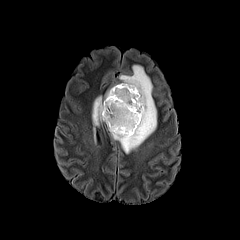
FLAIR MR.
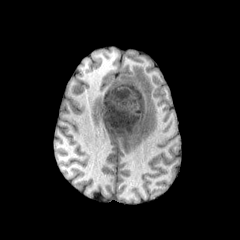
T1-weighted MR image.
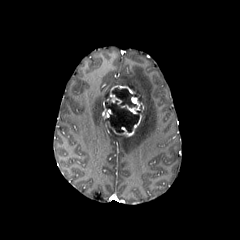
Post-contrast T1-weighted MRI.
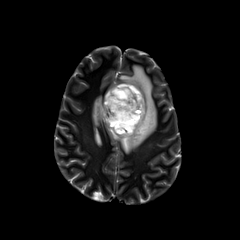
T2-weighted MR image.
Axial view
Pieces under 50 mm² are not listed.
{
  "enhancing_tumor": [
    "102 101 111 119",
    "110 85 135 104",
    "110 114 141 136",
    "121 97 143 113"
  ],
  "peritumoral_edema": [
    "92 96 105 126",
    "106 65 156 153"
  ],
  "necrotic_tumor_core": [
    "105 84 141 132"
  ]
}